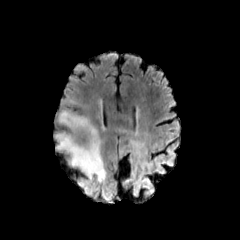
FLAIR magnetic resonance.
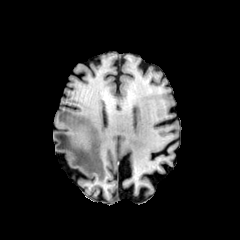
T1-weighted magnetic resonance of the same slice.
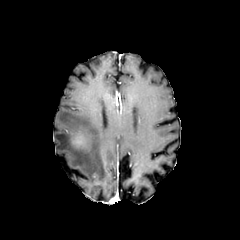
Same slice, post-contrast T1-weighted MR image.
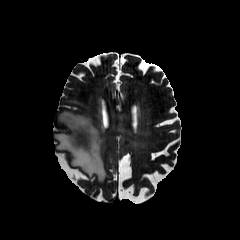
Same slice, T2-weighted magnetic resonance.
Head.
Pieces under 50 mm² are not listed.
enhancing tumor = rect(72, 136, 81, 146)
peritumoral edema = rect(54, 110, 106, 199)